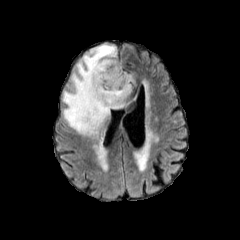
FLAIR MR.
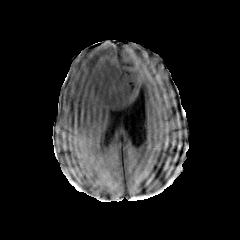
T1-weighted MRI.
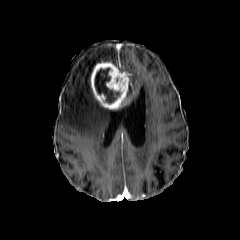
Post-contrast T1-weighted MRI.
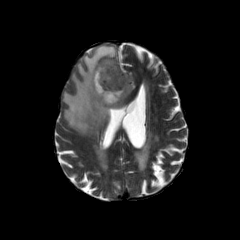
T2-weighted magnetic resonance.
Axial view
necrotic tumor core at region(95, 68, 119, 102)
peritumoral edema at region(62, 43, 118, 135); region(117, 63, 135, 110)
enhancing tumor at region(90, 61, 131, 109)